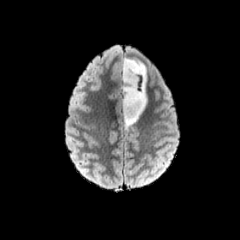
FLAIR magnetic resonance.
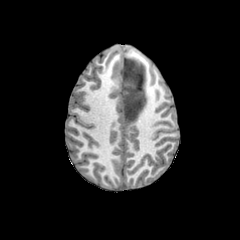
T1-weighted MRI.
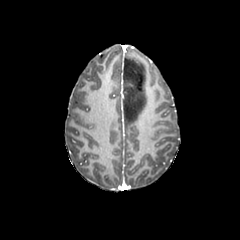
Post-contrast T1-weighted MRI of the same slice.
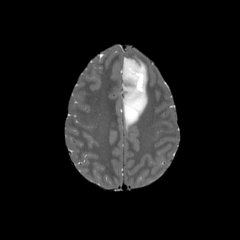
Same slice, T2-weighted MR image.
Head. Axial slice.
The peritumoral edema is bounded by left=122, top=58, right=147, bottom=128.